Slice 114/155; Axial plane; Image width 240 mm, 1.00 mm slice spacing
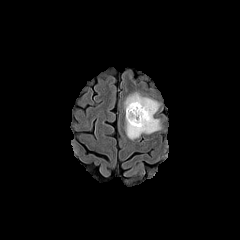
FLAIR MRI.
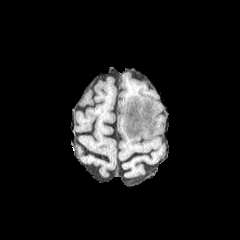
T1-weighted MR image.
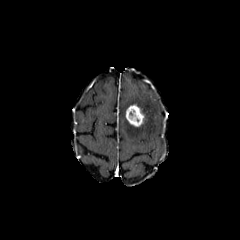
Same slice, post-contrast T1-weighted MR image.
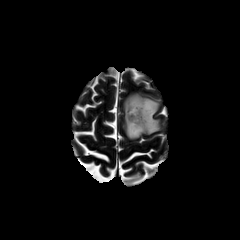
T2-weighted MRI.
enhancing tumor = l=125, t=104, r=145, b=126
peritumoral edema = l=124, t=93, r=160, b=139